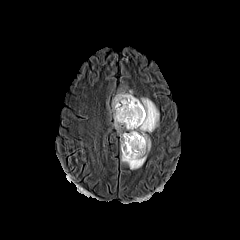
FLAIR MR image.
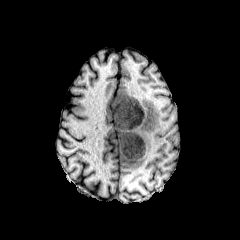
Same slice, T1-weighted MR.
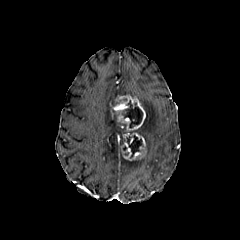
Post-contrast T1-weighted magnetic resonance.
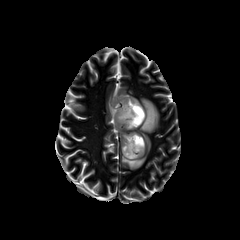
T2-weighted MR image.
Axial slice
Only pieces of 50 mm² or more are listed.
necrotic tumor core at left=122, top=100, right=142, bottom=127; left=127, top=135, right=142, bottom=157
enhancing tumor at left=113, top=95, right=146, bottom=160
peritumoral edema at left=121, top=97, right=159, bottom=169; left=117, top=90, right=133, bottom=96; left=114, top=113, right=126, bottom=145